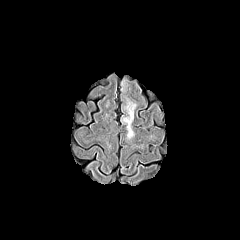
FLAIR MR.
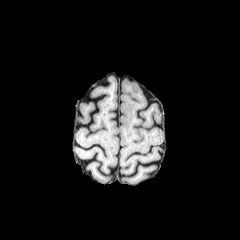
T1-weighted MR of the same slice.
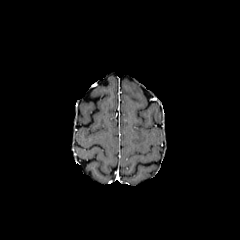
Post-contrast T1-weighted MRI of the same slice.
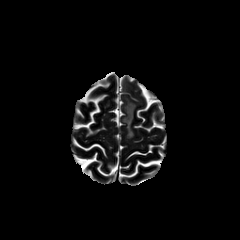
Same slice, T2-weighted MR image.
Brain; 240x240 px
peritumoral_edema:
  - box=[122, 95, 136, 138]
  - box=[122, 81, 128, 93]